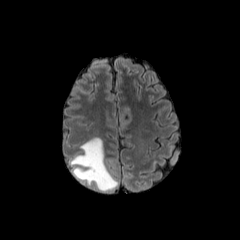
FLAIR MR image.
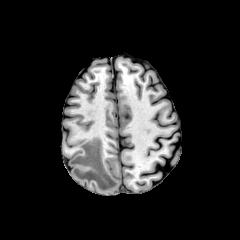
T1-weighted MR image.
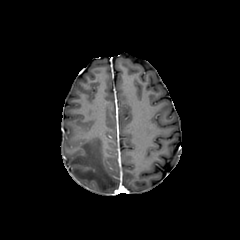
Post-contrast T1-weighted MRI.
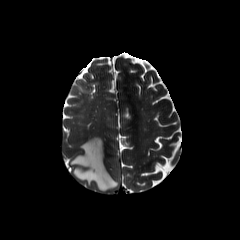
T2-weighted MRI.
Image size 240x240. Brain.
Segmented structures:
* peritumoral edema: (70,137,118,191)